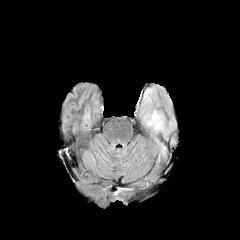
FLAIR MRI.
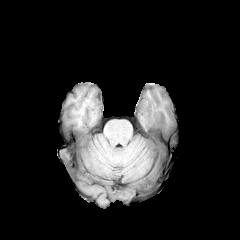
T1-weighted MR.
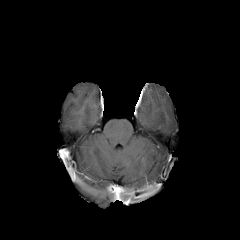
Same slice, post-contrast T1-weighted magnetic resonance.
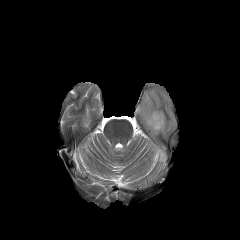
T2-weighted MR of the same slice.
Head, Axial view
Annotated regions:
- peritumoral edema: (143, 110, 165, 133), (158, 145, 165, 160)